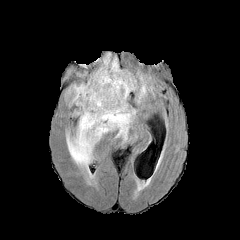
FLAIR MR.
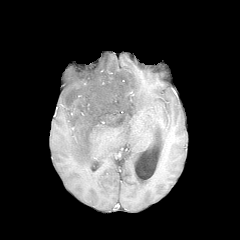
T1-weighted MR image.
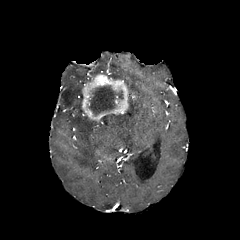
Post-contrast T1-weighted MRI.
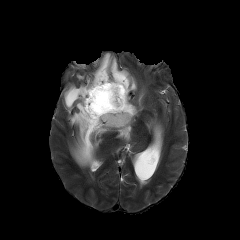
T2-weighted MR.
Brain
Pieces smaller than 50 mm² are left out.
enhancing tumor — [81,71,129,121]
peritumoral edema — [137,85,146,102], [64,83,137,170], [91,53,136,92]
necrotic tumor core — [89,86,122,115]